FLAIR MR.
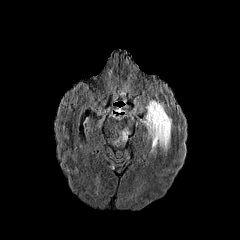
T1-weighted magnetic resonance.
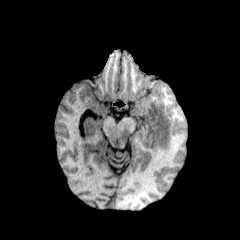
Post-contrast T1-weighted MRI.
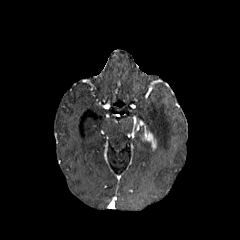
T2-weighted MR.
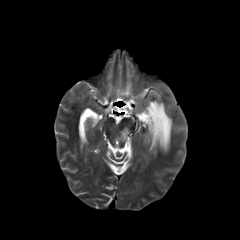
The enhancing tumor is bounded by (145,133,156,149). 2 peritumoral edema regions are located at (142,100,172,152), (120,129,128,140).